Image width 240 mm | Slice 42 of 155
FLAIR MR image.
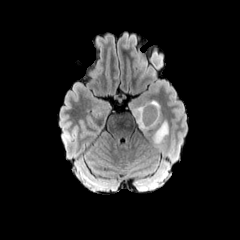
T1-weighted MRI.
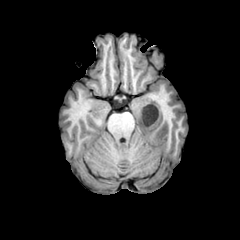
Post-contrast T1-weighted magnetic resonance.
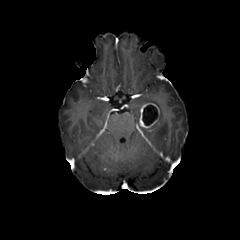
T2-weighted MR image.
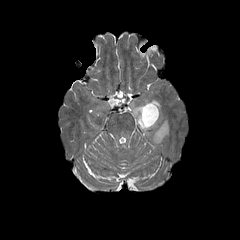
The enhancing tumor is located at 139:102:159:128. The necrotic tumor core lies within 142:104:157:125. The peritumoral edema is bounded by 133:99:168:144.